FLAIR MR image.
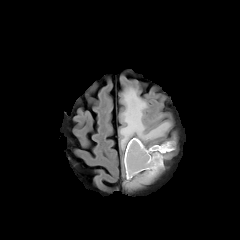
T1-weighted MRI.
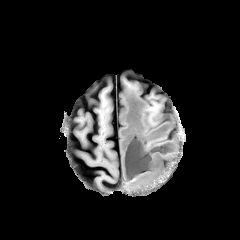
Post-contrast T1-weighted MRI.
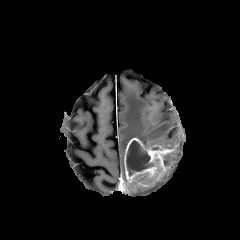
T2-weighted MRI.
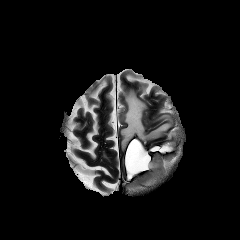
Axial view
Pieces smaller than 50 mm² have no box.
The 3 largest peritumoral edema regions appear at 126 173 158 187, 162 141 175 147, 120 89 170 149. The enhancing tumor appears at 124 138 174 182. The largest necrotic tumor core region is at 126 140 153 175.